FLAIR MR.
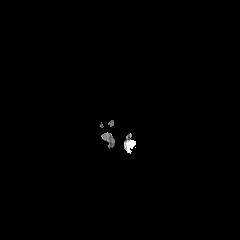
T1-weighted magnetic resonance.
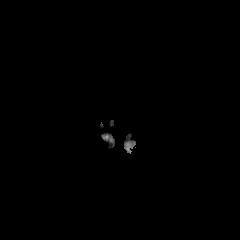
Post-contrast T1-weighted MR.
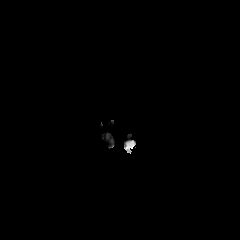
T2-weighted MRI.
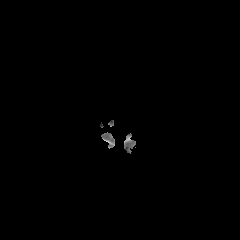
Brain, Axial slice
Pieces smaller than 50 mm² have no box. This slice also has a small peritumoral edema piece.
enhancing tumor: left=126, top=141, right=135, bottom=151